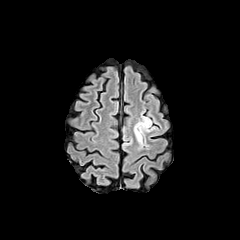
FLAIR MR image.
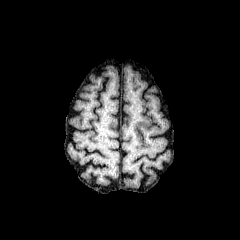
T1-weighted MRI.
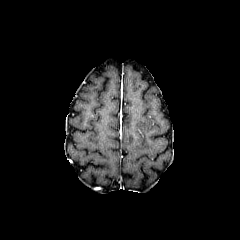
Same slice, post-contrast T1-weighted MR image.
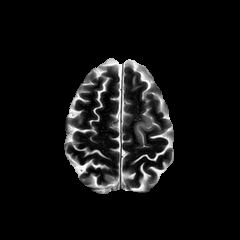
T2-weighted magnetic resonance.
Head
The peritumoral edema is bounded by x1=134, y1=115, x2=155, y2=147.